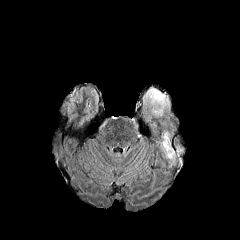
FLAIR MR.
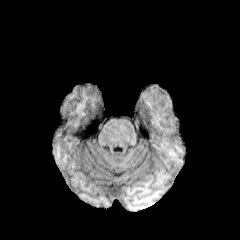
T1-weighted MRI.
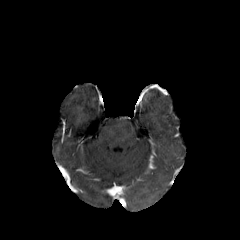
Post-contrast T1-weighted magnetic resonance of the same slice.
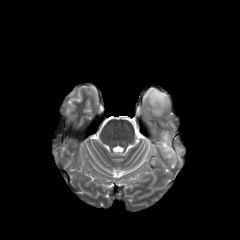
T2-weighted magnetic resonance of the same slice.
Brain
2 peritumoral edema regions appear at 162, 132, 174, 158; 147, 89, 169, 114.